Slice 101 of 155
FLAIR MR image.
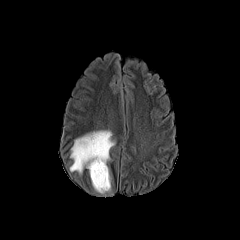
T1-weighted MRI.
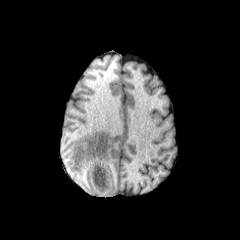
Post-contrast T1-weighted MR image.
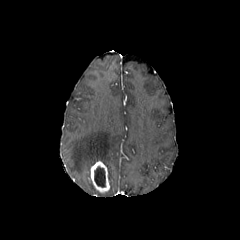
T2-weighted magnetic resonance.
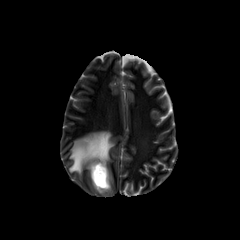
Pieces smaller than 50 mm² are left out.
enhancing tumor: [90, 160, 109, 193]
necrotic tumor core: [94, 167, 105, 187]
peritumoral edema: [70, 130, 115, 174]